Axial plane. Image width 240 mm. Slice 78 of 155. Brain.
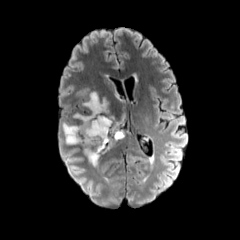
FLAIR magnetic resonance.
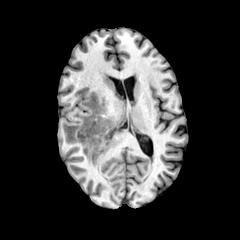
Same slice, T1-weighted magnetic resonance.
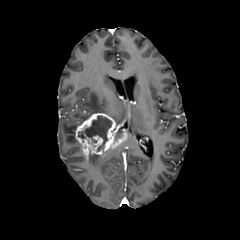
Post-contrast T1-weighted MRI.
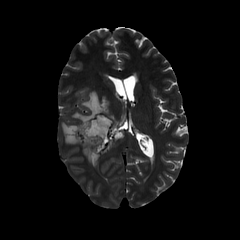
T2-weighted magnetic resonance.
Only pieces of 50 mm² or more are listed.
Annotated regions:
* enhancing tumor: <box>74,113,126,159</box>
* peritumoral edema: <box>88,154,99,165</box>, <box>73,92,109,122</box>, <box>62,122,78,144</box>
* necrotic tumor core: <box>78,115,111,151</box>